Image width 240 mm, 1.00 mm slice spacing
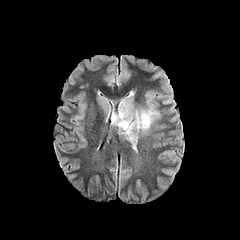
FLAIR MR.
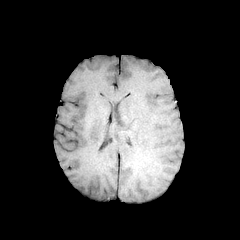
T1-weighted MR image of the same slice.
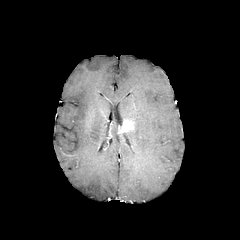
Same slice, post-contrast T1-weighted MR.
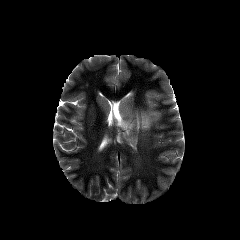
T2-weighted MR.
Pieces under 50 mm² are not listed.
enhancing tumor = rect(121, 120, 133, 132)
peritumoral edema = rect(112, 99, 154, 149)